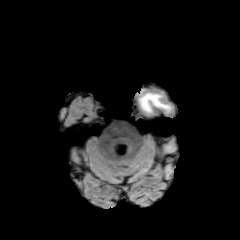
FLAIR MR.
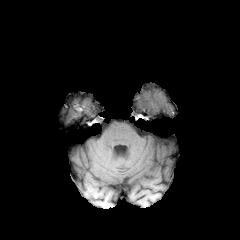
Same slice, T1-weighted MR.
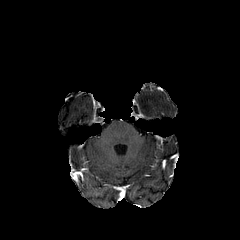
Same slice, post-contrast T1-weighted MRI.
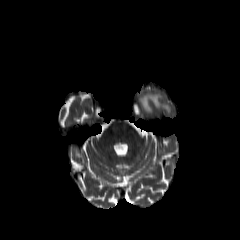
T2-weighted MR image of the same slice.
peritumoral edema: 138 89 171 114